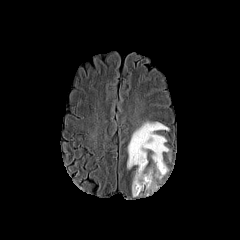
FLAIR MR.
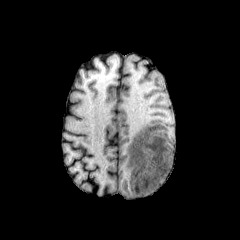
T1-weighted MRI of the same slice.
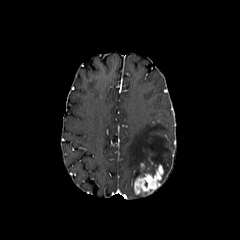
Same slice, post-contrast T1-weighted magnetic resonance.
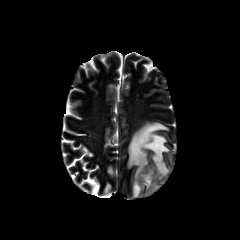
T2-weighted magnetic resonance of the same slice.
Image size 240x240; Brain
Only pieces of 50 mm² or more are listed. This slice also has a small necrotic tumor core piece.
<segmentation>
  <peritumoral_edema>127, 121, 169, 197</peritumoral_edema>
  <enhancing_tumor>134, 164, 163, 195</enhancing_tumor>
</segmentation>